Slice 43 of 155; Image width 240 mm, 1.00 mm slice spacing; Image size 240x240
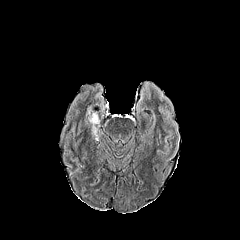
FLAIR MR.
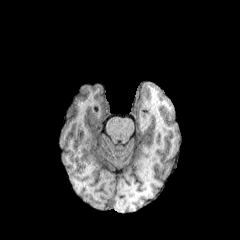
T1-weighted MR image.
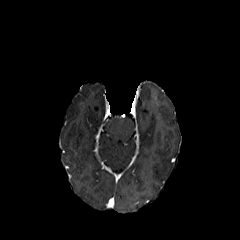
Post-contrast T1-weighted MR of the same slice.
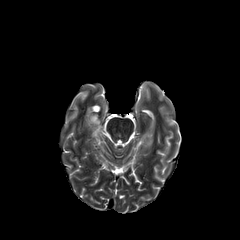
T2-weighted MRI.
peritumoral edema: (88,111,99,135)